Head | Slice index 69 | 240x240
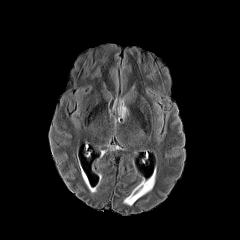
FLAIR MR image.
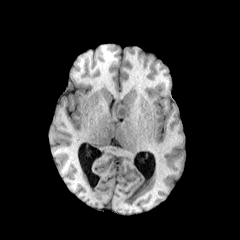
Same slice, T1-weighted MR.
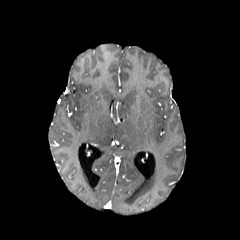
Post-contrast T1-weighted MR image.
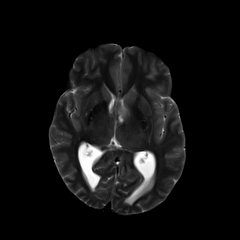
Same slice, T2-weighted MRI.
peritumoral edema at 118 101 127 118